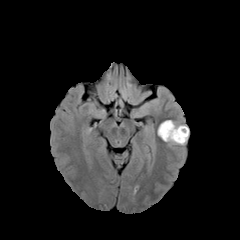
FLAIR MRI.
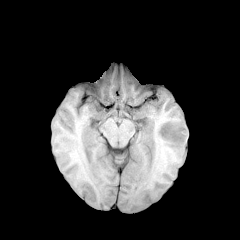
T1-weighted magnetic resonance.
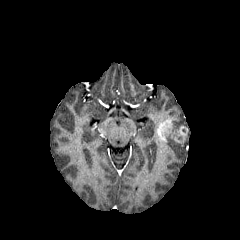
Post-contrast T1-weighted MR image of the same slice.
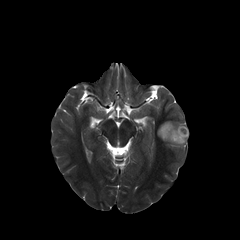
T2-weighted magnetic resonance.
Brain. Axial plane.
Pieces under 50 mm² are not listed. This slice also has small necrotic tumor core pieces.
The peritumoral edema is located at (166,121,188,146). The 2 largest enhancing tumor regions appear at (157,120,172,141), (174,126,188,143).